FLAIR MR image.
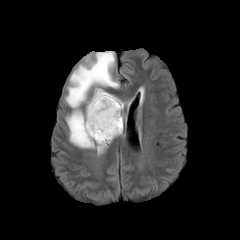
T1-weighted MRI.
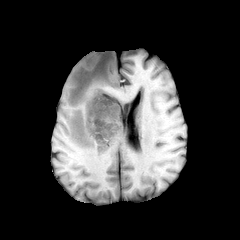
Post-contrast T1-weighted MR image.
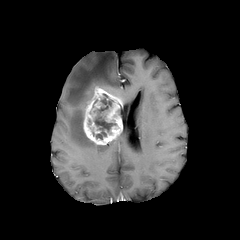
T2-weighted MR image.
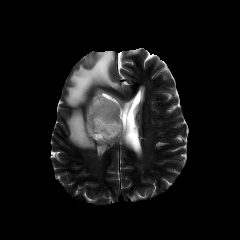
Axial view
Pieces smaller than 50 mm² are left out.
The largest peritumoral edema region lies within 65,51,119,148. The largest necrotic tumor core region lies within 87,99,116,139. The largest enhancing tumor region appears at 83,86,123,145.